Slice 109/155. Image width 240 mm, 1.00 mm slice spacing. Head.
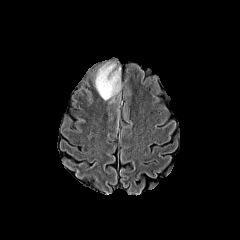
FLAIR magnetic resonance.
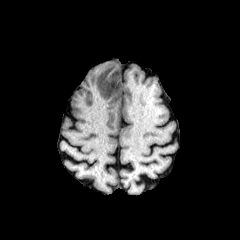
Same slice, T1-weighted MR.
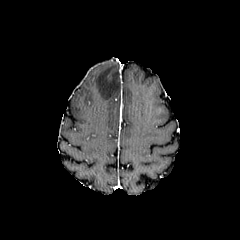
Post-contrast T1-weighted magnetic resonance of the same slice.
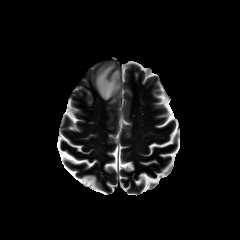
Same slice, T2-weighted MR image.
peritumoral edema: rect(95, 63, 120, 100)